FLAIR MR.
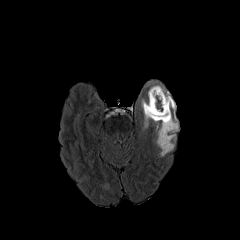
T1-weighted magnetic resonance.
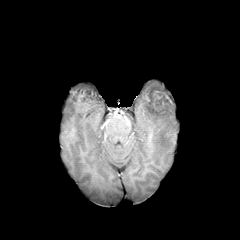
Post-contrast T1-weighted magnetic resonance.
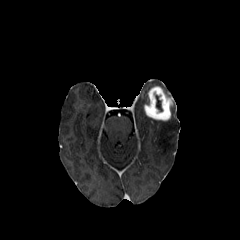
T2-weighted MR.
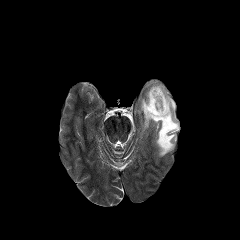
240x240 px.
peritumoral edema — (x1=140, y1=97, x2=178, y2=156), (x1=147, y1=81, x2=169, y2=96)
necrotic tumor core — (x1=155, y1=95, x2=162, y2=111)
enhancing tumor — (x1=144, y1=86, x2=173, y2=120)